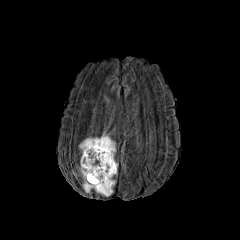
FLAIR magnetic resonance.
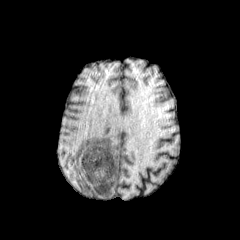
T1-weighted MR.
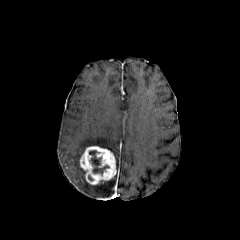
Post-contrast T1-weighted MR image of the same slice.
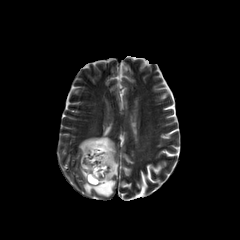
Same slice, T2-weighted magnetic resonance.
Brain | Axial plane
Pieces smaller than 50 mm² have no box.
enhancing_tumor:
  - <box>80,146,116,184</box>
necrotic_tumor_core:
  - <box>89,151,109,174</box>
peritumoral_edema:
  - <box>79,132,115,155</box>
  - <box>79,167,115,196</box>